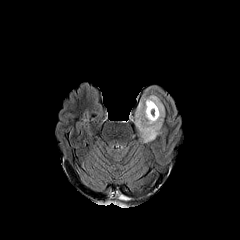
FLAIR magnetic resonance.
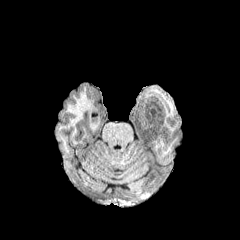
T1-weighted MR.
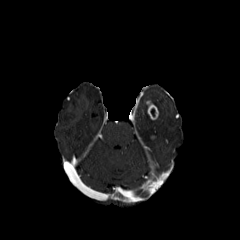
Same slice, post-contrast T1-weighted MR image.
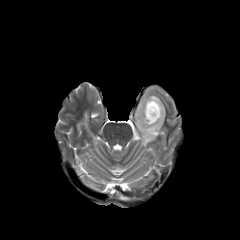
T2-weighted magnetic resonance.
Head.
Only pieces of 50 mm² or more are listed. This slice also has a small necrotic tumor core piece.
enhancing_tumor:
  - left=146, top=100, right=159, bottom=120
peritumoral_edema:
  - left=135, top=94, right=164, bottom=142